FLAIR MR image.
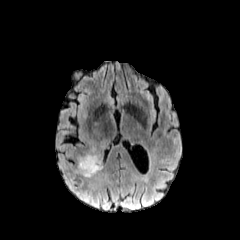
T1-weighted MR image.
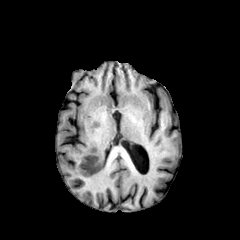
Post-contrast T1-weighted magnetic resonance.
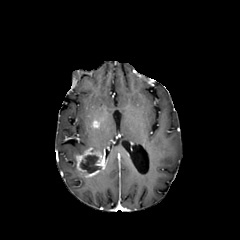
T2-weighted MR.
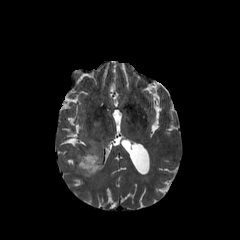
Axial plane, Head, Image size 240x240
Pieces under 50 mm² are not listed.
<segmentation>
  <necrotic_tumor_core>bbox(80, 155, 99, 173)</necrotic_tumor_core>
  <peritumoral_edema>bbox(89, 142, 104, 154)</peritumoral_edema>
  <enhancing_tumor>bbox(76, 147, 106, 177)</enhancing_tumor>
</segmentation>